FLAIR magnetic resonance.
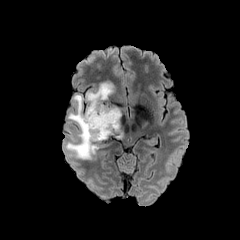
T1-weighted MRI.
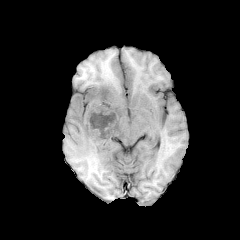
Post-contrast T1-weighted MR image.
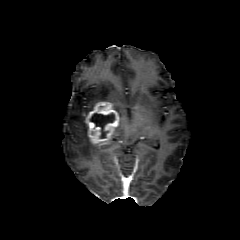
T2-weighted MRI.
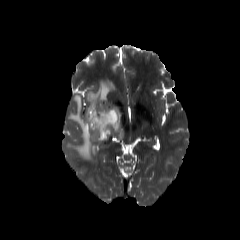
Axial plane | Brain
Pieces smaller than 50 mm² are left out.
peritumoral_edema:
  - x1=116, y1=120, x2=122, y2=137
  - x1=66, y1=81, x2=113, y2=159
enhancing_tumor:
  - x1=85, y1=102, x2=120, y2=145
necrotic_tumor_core:
  - x1=90, y1=113, x2=114, y2=138